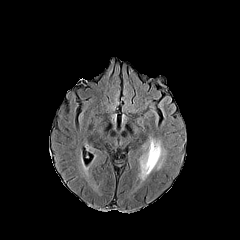
FLAIR MR image.
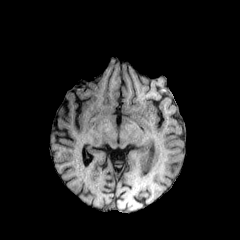
T1-weighted magnetic resonance.
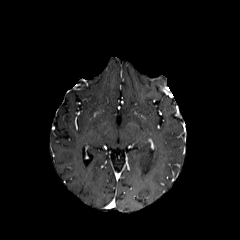
Post-contrast T1-weighted MR of the same slice.
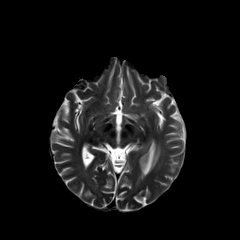
T2-weighted MR.
240x240 px
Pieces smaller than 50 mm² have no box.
<segmentation>
  <peritumoral_edema>(141, 140, 164, 178)</peritumoral_edema>
</segmentation>